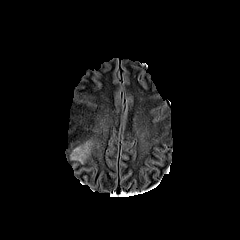
FLAIR MR image.
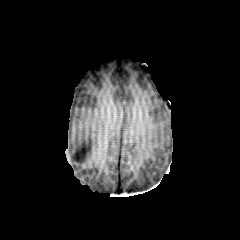
T1-weighted MR image.
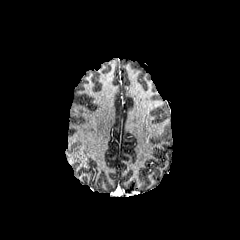
Post-contrast T1-weighted MR image.
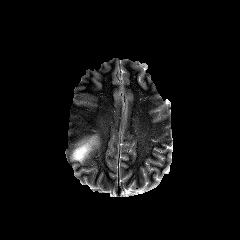
Same slice, T2-weighted MRI.
240x240 | Head
* peritumoral edema: 70,139,98,163